FLAIR MRI.
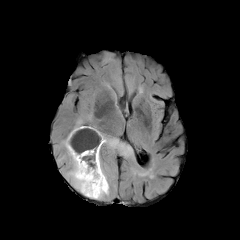
T1-weighted magnetic resonance.
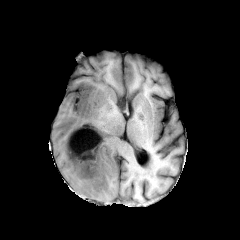
Post-contrast T1-weighted MRI.
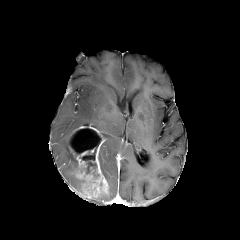
T2-weighted MR.
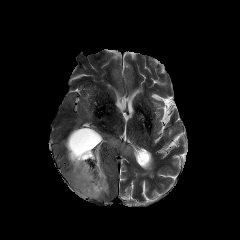
240x240 px; Axial slice
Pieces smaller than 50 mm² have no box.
peritumoral_edema:
  - (73,119,82,129)
  - (62,134,82,193)
  - (102,133,130,154)
  - (99,152,106,179)
enhancing_tumor:
  - (67,126,108,198)
necrotic_tumor_core:
  - (81,149,96,173)
  - (69,128,101,154)